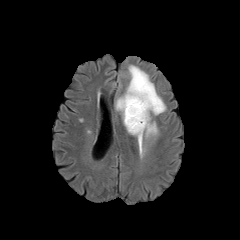
FLAIR MR image.
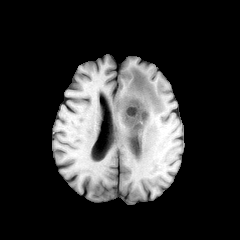
T1-weighted MRI.
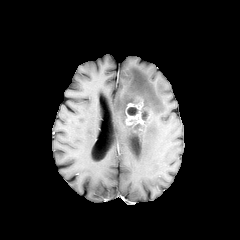
Same slice, post-contrast T1-weighted MR image.
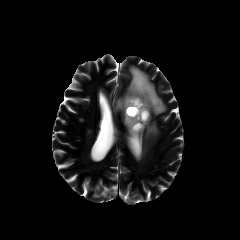
Same slice, T2-weighted MR image.
Image size 240x240 | Head | Axial plane
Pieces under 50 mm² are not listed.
enhancing_tumor:
  - rect(125, 97, 150, 132)
peritumoral_edema:
  - rect(115, 65, 166, 157)
necrotic_tumor_core:
  - rect(142, 110, 148, 120)
  - rect(127, 107, 137, 115)